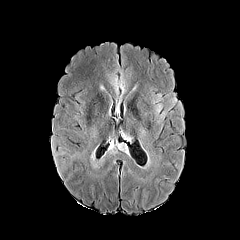
FLAIR magnetic resonance.
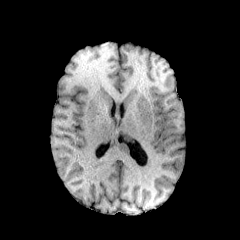
T1-weighted magnetic resonance.
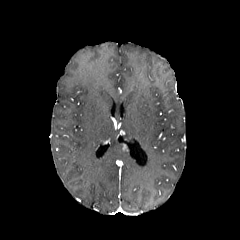
Post-contrast T1-weighted MR.
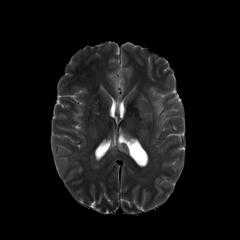
T2-weighted MR.
Axial plane
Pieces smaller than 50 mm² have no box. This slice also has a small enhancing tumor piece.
peritumoral edema: bounding box l=108, t=139, r=116, b=153